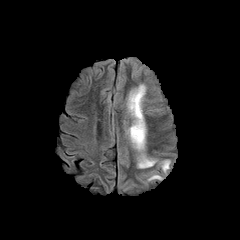
FLAIR MR image.
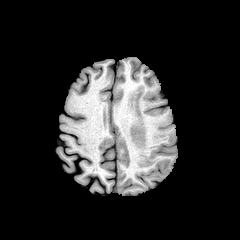
T1-weighted magnetic resonance of the same slice.
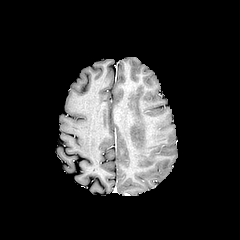
Post-contrast T1-weighted MR image.
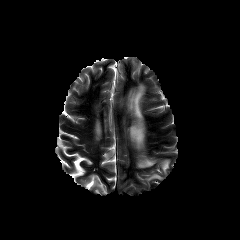
T2-weighted MR of the same slice.
240x240, Axial slice
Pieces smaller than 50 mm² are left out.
peritumoral_edema:
  - (x1=129, y1=85, x2=145, y2=150)
  - (x1=162, y1=160, x2=169, y2=171)
  - (x1=138, y1=155, x2=155, y2=167)